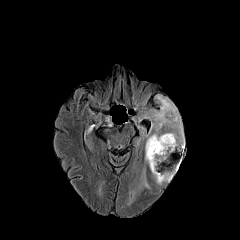
FLAIR MR image.
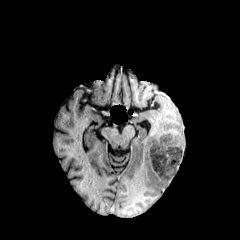
Same slice, T1-weighted magnetic resonance.
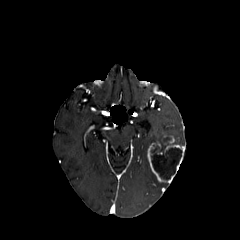
Post-contrast T1-weighted MR.
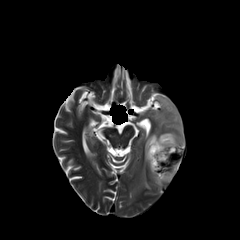
T2-weighted MRI.
240x240 px. Axial plane. Head.
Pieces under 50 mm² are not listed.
{
  "peritumoral_edema": [
    "box=[142, 170, 149, 188]",
    "box=[145, 96, 184, 161]"
  ],
  "enhancing_tumor": [
    "box=[163, 135, 184, 172]",
    "box=[147, 141, 174, 182]"
  ],
  "necrotic_tumor_core": [
    "box=[151, 137, 182, 179]"
  ]
}